FLAIR MR.
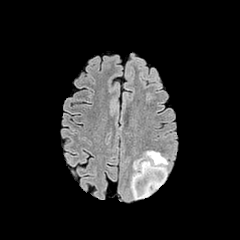
T1-weighted MR image.
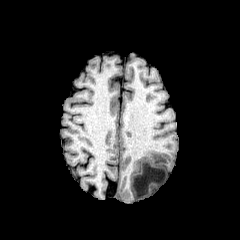
Post-contrast T1-weighted magnetic resonance.
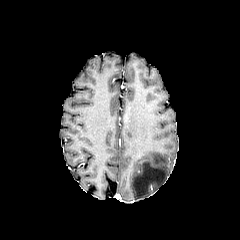
T2-weighted MRI.
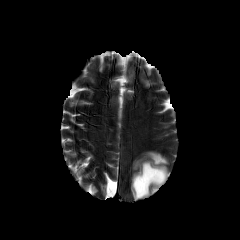
Brain
peritumoral edema: bounding box (x1=131, y1=151, x2=168, y2=199)